FLAIR magnetic resonance.
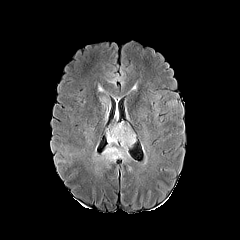
T1-weighted magnetic resonance.
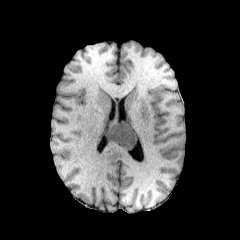
Post-contrast T1-weighted MRI.
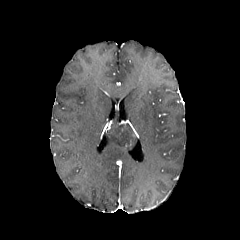
T2-weighted MRI.
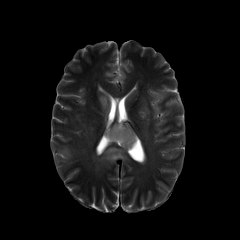
Brain; Image size 240x240
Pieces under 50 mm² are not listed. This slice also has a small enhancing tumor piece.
peritumoral edema = 100:96:109:118, 101:124:135:161